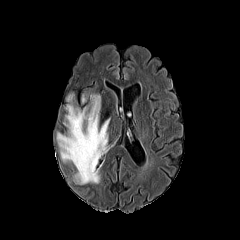
FLAIR magnetic resonance.
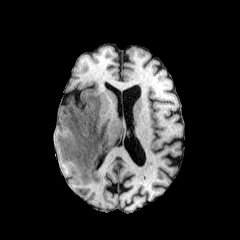
T1-weighted MRI of the same slice.
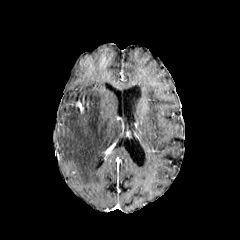
Post-contrast T1-weighted MR.
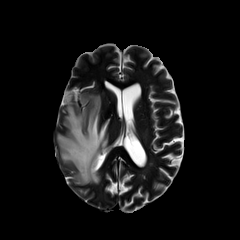
Same slice, T2-weighted magnetic resonance.
240x240 px
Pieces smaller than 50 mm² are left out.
Segmented structures:
* peritumoral edema: 57 94 109 184